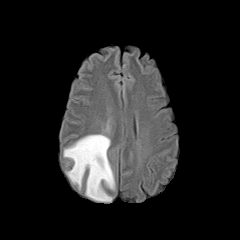
FLAIR MR.
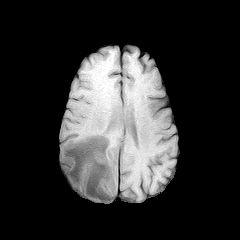
T1-weighted magnetic resonance.
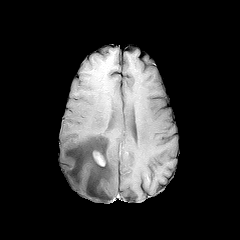
Post-contrast T1-weighted MR.
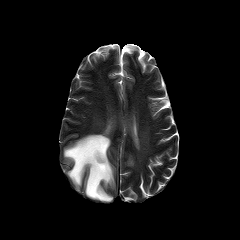
T2-weighted MRI of the same slice.
Axial slice
{"enhancing_tumor": [{"x1": 93, "y1": 151, "x2": 105, "y2": 166}], "peritumoral_edema": [{"x1": 63, "y1": 134, "x2": 114, "y2": 202}]}